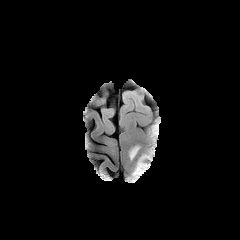
FLAIR MRI.
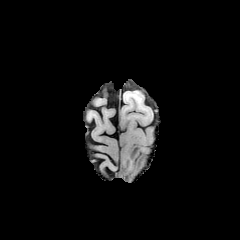
T1-weighted MRI.
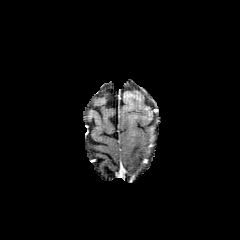
Post-contrast T1-weighted MRI.
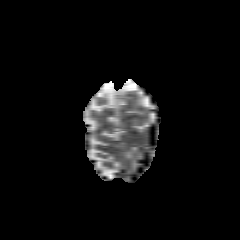
Same slice, T2-weighted MR image.
Image size 240x240; Axial plane
peritumoral edema = l=132, t=155, r=145, b=174; l=129, t=146, r=139, b=159